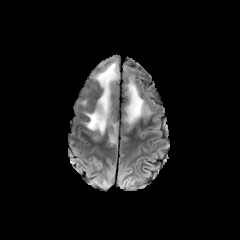
FLAIR MR image.
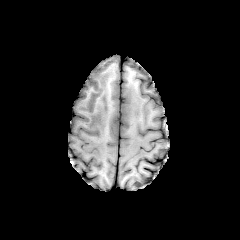
T1-weighted MR.
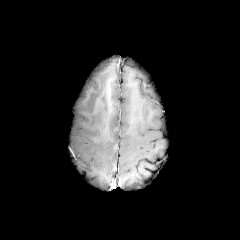
Post-contrast T1-weighted magnetic resonance of the same slice.
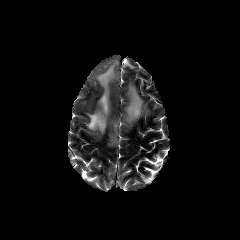
Same slice, T2-weighted MR image.
Brain, Axial slice
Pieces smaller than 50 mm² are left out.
peritumoral_edema:
  - (81, 62, 118, 143)
  - (122, 82, 152, 131)